Image width 240 mm. Axial slice. Head. Slice index 130. 240x240.
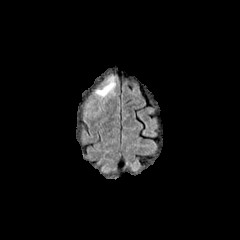
FLAIR MR image.
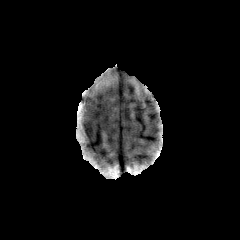
T1-weighted MRI of the same slice.
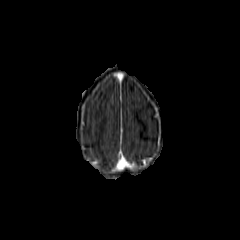
Post-contrast T1-weighted magnetic resonance of the same slice.
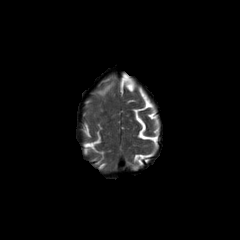
T2-weighted MR image.
The peritumoral edema appears at bbox=[96, 76, 115, 96].